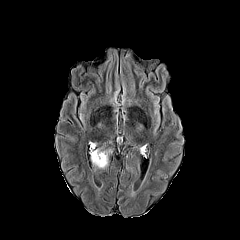
FLAIR MR image.
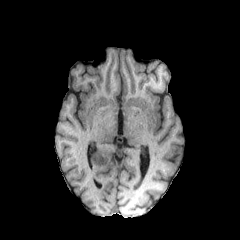
T1-weighted MRI of the same slice.
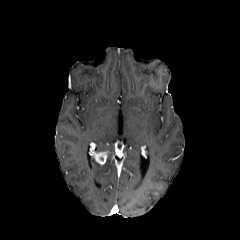
Post-contrast T1-weighted magnetic resonance.
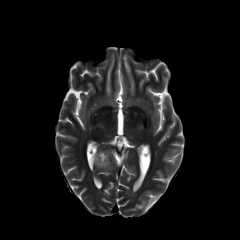
T2-weighted MRI of the same slice.
Brain
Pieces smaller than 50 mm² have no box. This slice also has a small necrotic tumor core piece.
enhancing tumor = l=92, t=150, r=108, b=165
peritumoral edema = l=92, t=158, r=108, b=168